Slice index 80. Image size 240x240. Head.
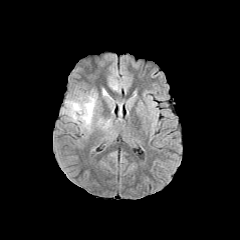
FLAIR MR image.
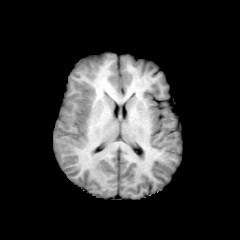
T1-weighted MR image.
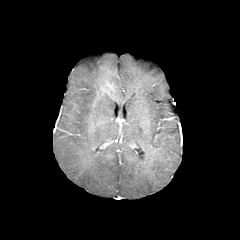
Post-contrast T1-weighted MR.
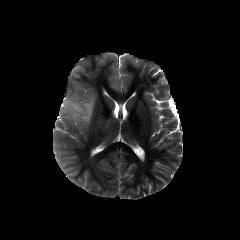
T2-weighted MRI.
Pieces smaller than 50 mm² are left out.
The largest peritumoral edema region is located at <box>63,96,95,128</box>.